Axial slice
FLAIR magnetic resonance.
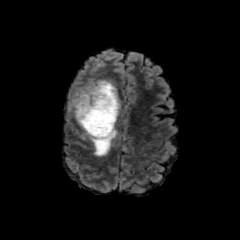
T1-weighted MR.
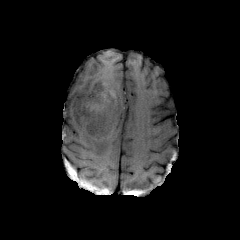
Post-contrast T1-weighted MR.
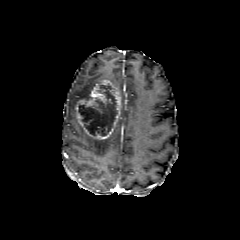
T2-weighted magnetic resonance.
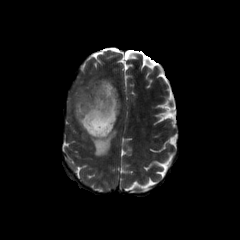
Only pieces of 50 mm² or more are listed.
Segmented structures:
- enhancing tumor: [75,80,121,140]
- necrotic tumor core: [78,84,117,135]
- peritumoral edema: [81,127,117,156], [68,79,101,118]